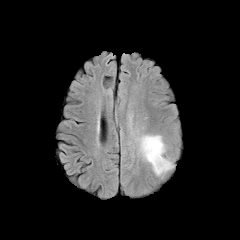
FLAIR MRI.
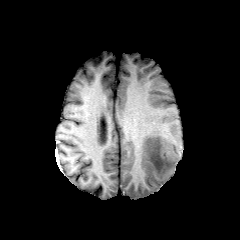
T1-weighted MRI.
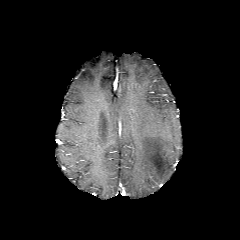
Post-contrast T1-weighted magnetic resonance.
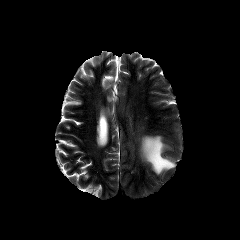
T2-weighted MR.
peritumoral edema: bounding box <bbox>140, 135, 173, 175</bbox>